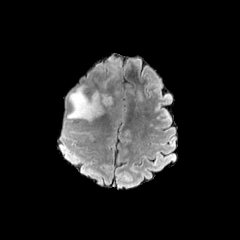
FLAIR MR image.
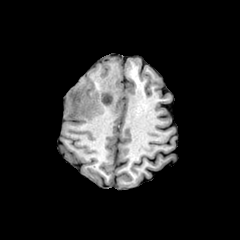
T1-weighted MR image of the same slice.
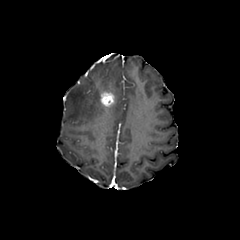
Same slice, post-contrast T1-weighted magnetic resonance.
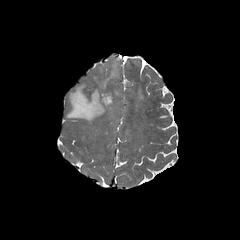
T2-weighted MR image of the same slice.
240x240 px; Head
The enhancing tumor appears at x1=101 y1=91 x2=114 y2=106. 2 peritumoral edema regions are bounded by x1=66 y1=58 x2=119 y2=122, x1=137 y1=89 x2=143 y2=102.